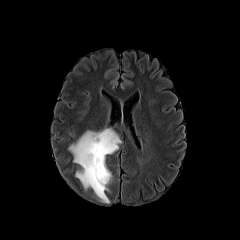
FLAIR MR.
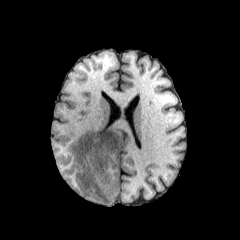
T1-weighted MRI.
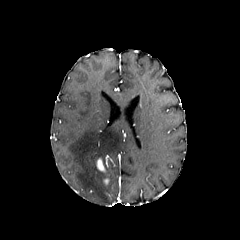
Post-contrast T1-weighted magnetic resonance of the same slice.
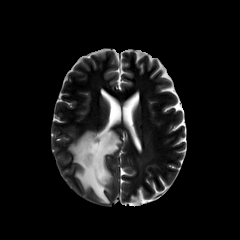
Same slice, T2-weighted MR image.
240x240
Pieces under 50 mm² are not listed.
enhancing tumor: (96,158,105,172) | peritumoral edema: (68,128,121,203)